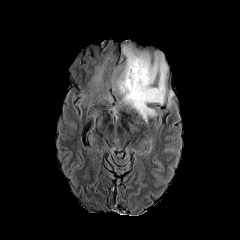
FLAIR MRI.
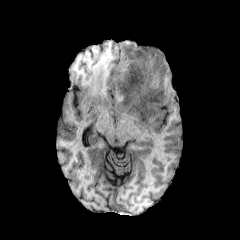
Same slice, T1-weighted MRI.
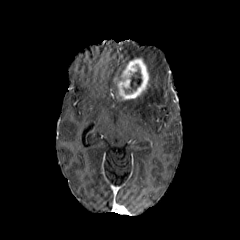
Same slice, post-contrast T1-weighted MRI.
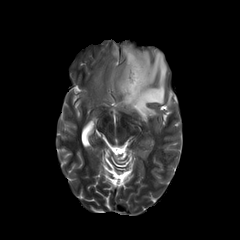
T2-weighted MR image.
Brain. 240x240 px.
peritumoral_edema:
  - [89, 60, 107, 87]
  - [117, 44, 174, 123]
necrotic_tumor_core:
  - [124, 69, 142, 92]
enhancing_tumor:
  - [115, 57, 149, 100]